FLAIR MR.
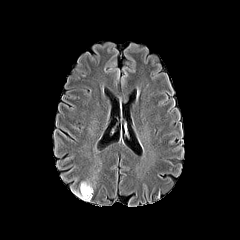
T1-weighted MRI.
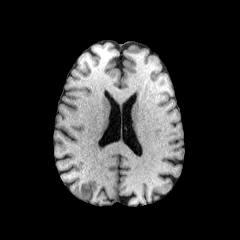
Post-contrast T1-weighted MR image.
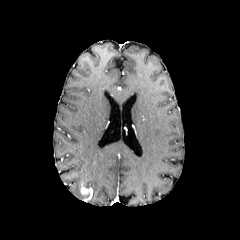
T2-weighted magnetic resonance.
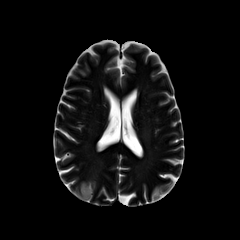
Head
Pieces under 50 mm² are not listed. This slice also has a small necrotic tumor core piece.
The 2 largest peritumoral edema regions are located at left=80, top=181, right=92, bottom=188; left=72, top=190, right=83, bottom=199. The enhancing tumor is bounded by left=80, top=183, right=92, bottom=201.